FLAIR MR image.
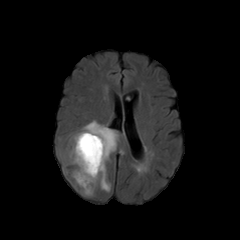
T1-weighted MR image.
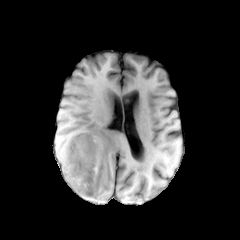
Post-contrast T1-weighted MRI.
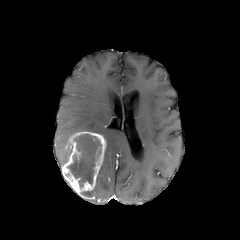
T2-weighted MRI.
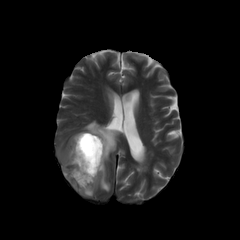
Brain
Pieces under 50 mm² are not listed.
necrotic tumor core: bounding box (68,134,101,186)
enhancing tumor: bounding box (61,131,106,193)
peritumoral edema: bounding box (62,140,72,163), (79,120,118,196)